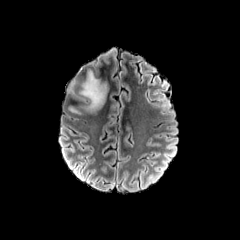
FLAIR MR.
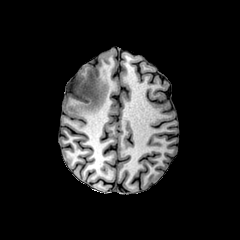
T1-weighted magnetic resonance.
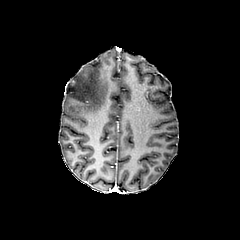
Same slice, post-contrast T1-weighted MR image.
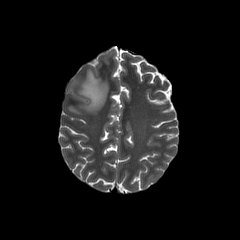
T2-weighted MRI of the same slice.
Axial slice
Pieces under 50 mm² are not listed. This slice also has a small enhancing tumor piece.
Findings:
• peritumoral edema: 79, 70, 107, 112